Axial slice, 240x240 px, Head
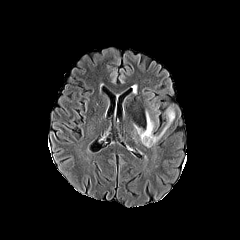
FLAIR magnetic resonance.
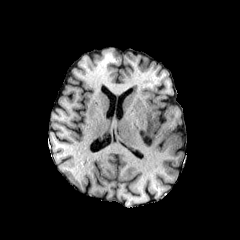
T1-weighted magnetic resonance.
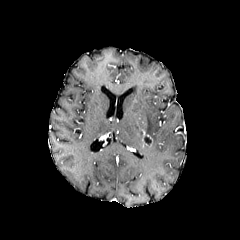
Post-contrast T1-weighted MRI.
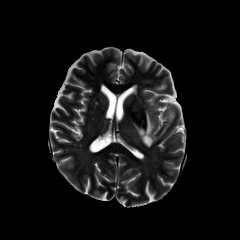
T2-weighted magnetic resonance.
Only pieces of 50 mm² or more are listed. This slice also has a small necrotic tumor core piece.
peritumoral edema = (145,108,174,142)
enhancing tumor = (141,130,152,145)